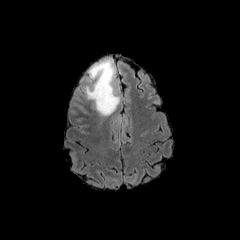
FLAIR MR image.
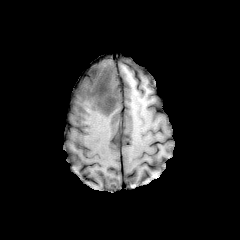
Same slice, T1-weighted magnetic resonance.
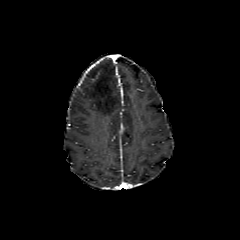
Post-contrast T1-weighted MRI.
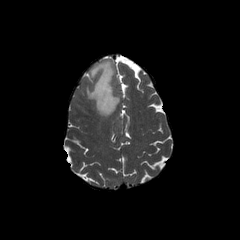
T2-weighted MR.
Axial view. Head.
The peritumoral edema appears at 84, 58, 119, 116.